Head
FLAIR MR.
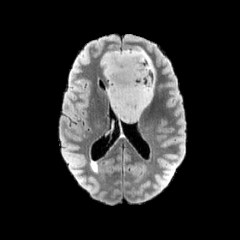
T1-weighted MR.
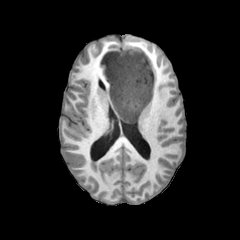
Post-contrast T1-weighted magnetic resonance.
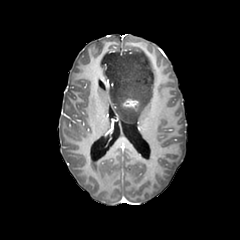
T2-weighted MR.
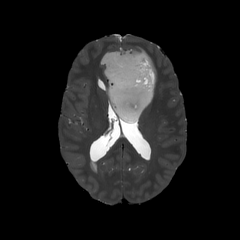
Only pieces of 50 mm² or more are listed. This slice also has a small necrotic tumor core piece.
enhancing_tumor:
  - 123,99,138,110
peritumoral_edema:
  - 102,47,154,122